FLAIR MR.
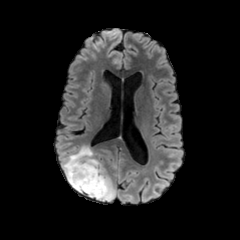
T1-weighted MR image.
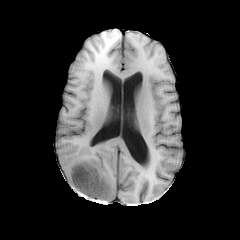
Post-contrast T1-weighted MR image.
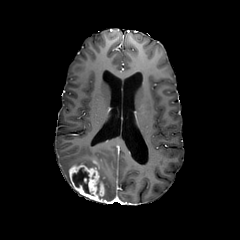
T2-weighted magnetic resonance.
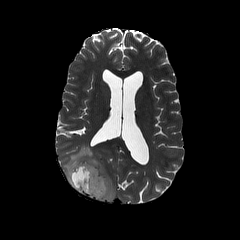
240x240 | Axial plane | Head
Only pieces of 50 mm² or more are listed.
enhancing tumor: left=69, top=160, right=105, bottom=201 | necrotic tumor core: left=72, top=167, right=93, bottom=195 | peritumoral edema: left=62, top=145, right=116, bottom=201